FLAIR MRI.
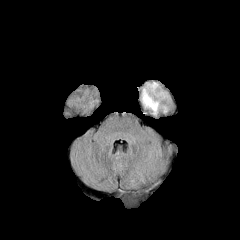
T1-weighted magnetic resonance.
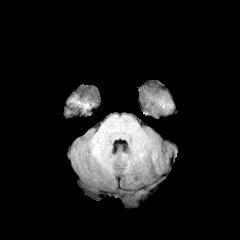
Post-contrast T1-weighted MR.
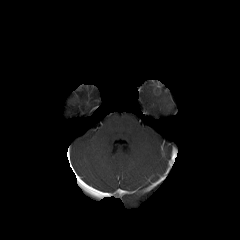
T2-weighted MR.
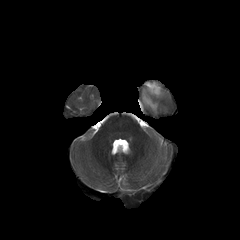
Brain, 240x240
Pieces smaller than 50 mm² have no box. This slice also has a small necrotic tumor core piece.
Segmented structures:
• enhancing tumor: (150, 81, 160, 94)
• peritumoral edema: (141, 82, 168, 114)